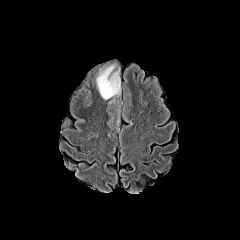
FLAIR MRI.
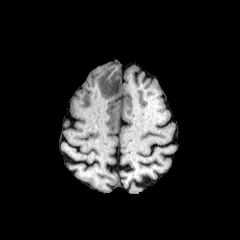
T1-weighted MRI.
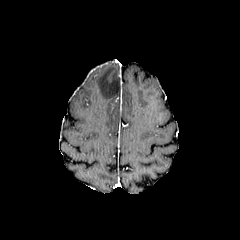
Post-contrast T1-weighted MR of the same slice.
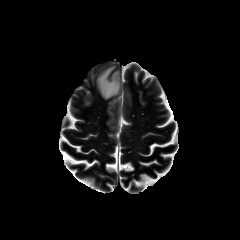
T2-weighted MR of the same slice.
Image size 240x240. Axial view.
peritumoral edema at {"x1": 96, "y1": 65, "x2": 120, "y2": 99}